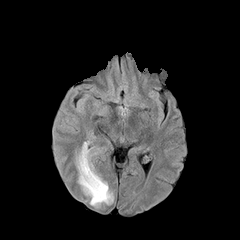
FLAIR magnetic resonance.
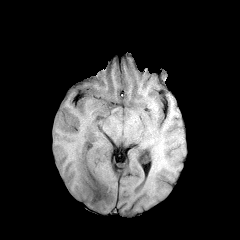
T1-weighted MR.
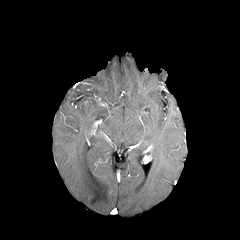
Same slice, post-contrast T1-weighted magnetic resonance.
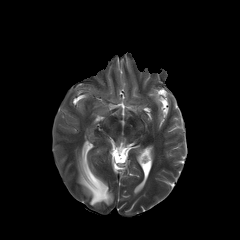
T2-weighted magnetic resonance.
Axial plane
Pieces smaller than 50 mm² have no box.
Findings:
• peritumoral edema: <bbox>76, 142, 113, 206</bbox>